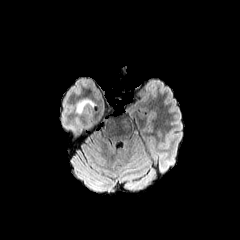
FLAIR MR image.
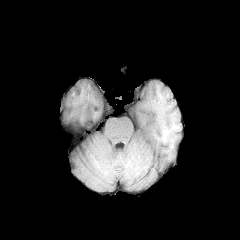
T1-weighted magnetic resonance.
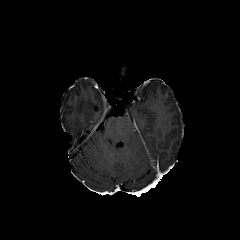
Post-contrast T1-weighted MR.
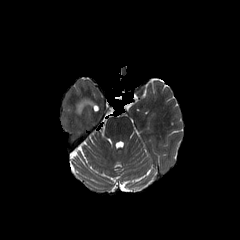
Same slice, T2-weighted MRI.
Axial slice, Head
Findings:
* peritumoral edema: (left=76, top=99, right=96, bottom=113)